Brain | Axial slice
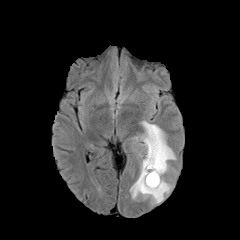
FLAIR MR image.
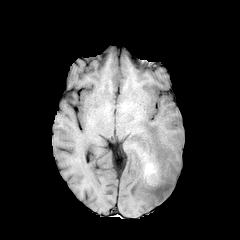
T1-weighted MR image of the same slice.
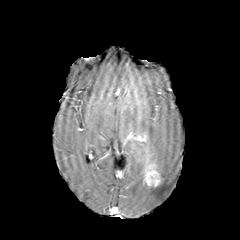
Post-contrast T1-weighted MR image of the same slice.
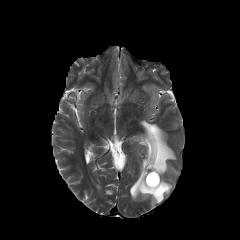
T2-weighted MRI.
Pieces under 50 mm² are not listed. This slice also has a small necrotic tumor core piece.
The peritumoral edema is at l=130, t=120, r=175, b=204. The largest enhancing tumor region is bounded by l=144, t=169, r=160, b=186.